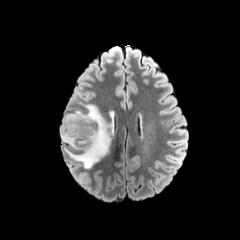
FLAIR MR.
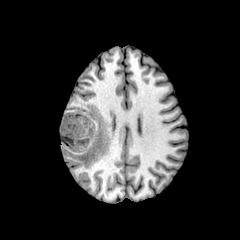
T1-weighted MR.
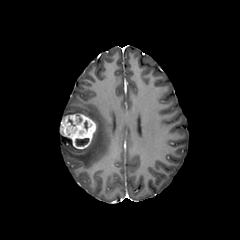
Post-contrast T1-weighted magnetic resonance.
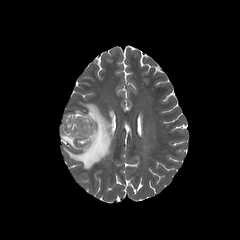
T2-weighted magnetic resonance.
Brain
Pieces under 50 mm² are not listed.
The enhancing tumor lies within <box>60,113,96,149</box>. The peritumoral edema lies within <box>60,104,110,168</box>. The largest necrotic tumor core region lies within <box>75,138,88,146</box>.